Head. Axial plane.
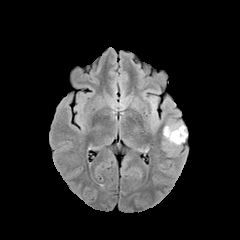
FLAIR MRI.
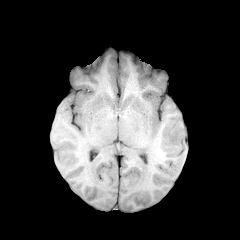
T1-weighted MRI.
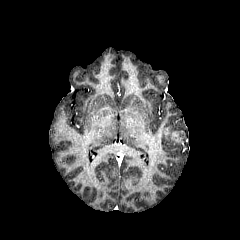
Post-contrast T1-weighted MR image of the same slice.
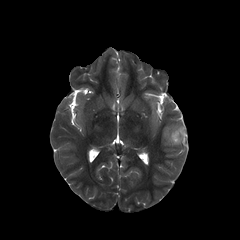
T2-weighted MR of the same slice.
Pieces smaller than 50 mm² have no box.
enhancing tumor — 172,131,181,141
peritumoral edema — 163,123,187,146